FLAIR MRI.
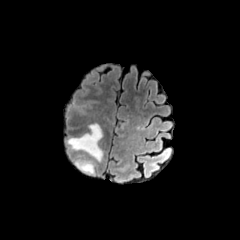
T1-weighted MR.
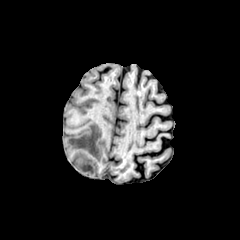
Post-contrast T1-weighted MR.
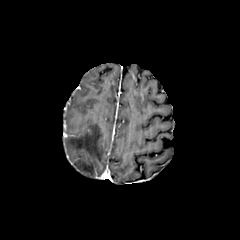
T2-weighted MR.
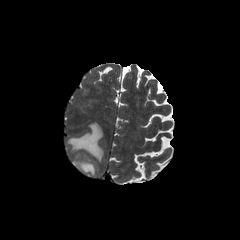
Axial plane | Brain
<segmentation>
  <peritumoral_edema>[67, 123, 103, 161], [75, 160, 94, 174]</peritumoral_edema>
</segmentation>